Image covers 240 mm x 240 mm. 240x240. Slice 45 of 155.
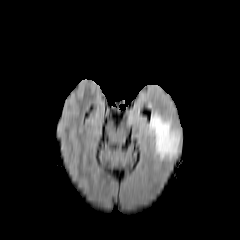
FLAIR MR image.
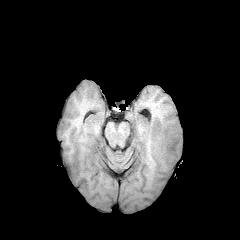
Same slice, T1-weighted magnetic resonance.
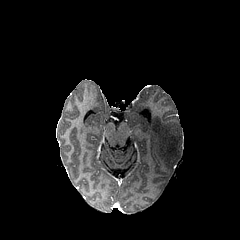
Post-contrast T1-weighted MRI of the same slice.
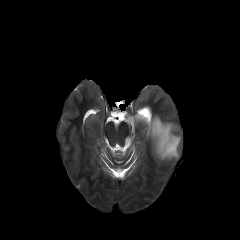
Same slice, T2-weighted MRI.
peritumoral edema: region(146, 113, 180, 160)